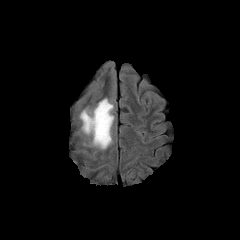
FLAIR MR image.
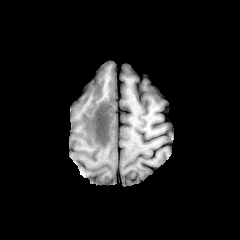
T1-weighted magnetic resonance of the same slice.
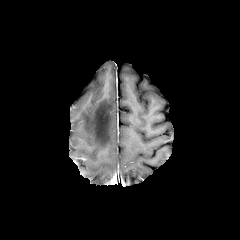
Same slice, post-contrast T1-weighted MRI.
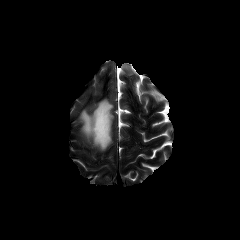
Same slice, T2-weighted MR.
Axial plane | Image size 240x240 | Head
{
  "peritumoral_edema": [
    "(80, 98, 113, 149)"
  ]
}